FLAIR MR.
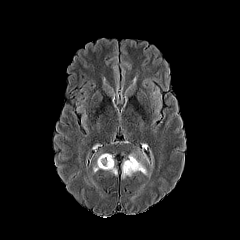
T1-weighted MRI.
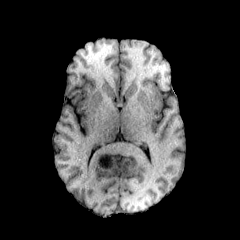
Post-contrast T1-weighted MR.
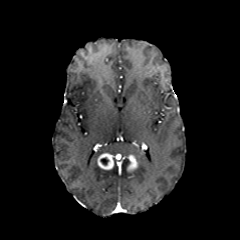
T2-weighted magnetic resonance.
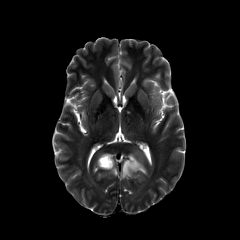
Brain.
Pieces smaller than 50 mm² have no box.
necrotic tumor core: box=[100, 157, 108, 165]
enhancing tumor: box=[97, 153, 114, 169]; box=[127, 154, 138, 171]
peritumoral edema: box=[122, 152, 150, 178]